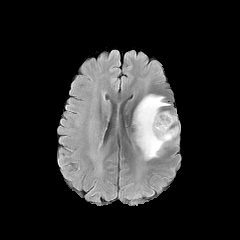
FLAIR MRI.
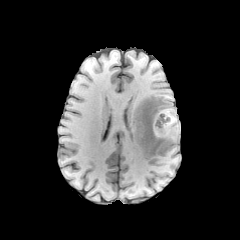
Same slice, T1-weighted MR image.
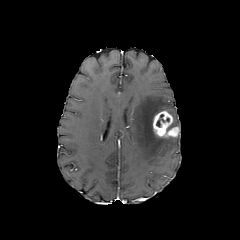
Post-contrast T1-weighted MR.
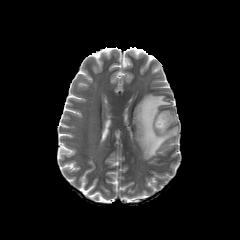
Same slice, T2-weighted MRI.
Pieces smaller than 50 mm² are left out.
<segmentation>
  <necrotic_tumor_core>156:114:164:127</necrotic_tumor_core>
  <enhancing_tumor>152:111:179:137</enhancing_tumor>
  <peritumoral_edema>133:94:174:159</peritumoral_edema>
</segmentation>